FLAIR MR.
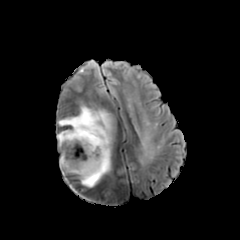
T1-weighted MR image.
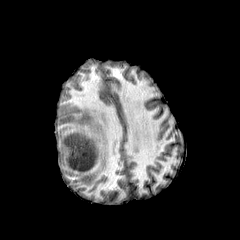
Post-contrast T1-weighted magnetic resonance.
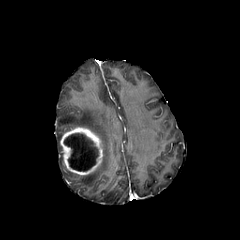
T2-weighted MR image.
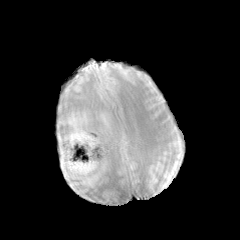
Head
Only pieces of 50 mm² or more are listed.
{
  "peritumoral_edema": [
    "box=[57, 130, 69, 147]",
    "box=[58, 106, 112, 187]",
    "box=[59, 156, 74, 175]"
  ],
  "necrotic_tumor_core": [
    "box=[64, 133, 98, 171]"
  ],
  "enhancing_tumor": [
    "box=[60, 127, 103, 175]"
  ]
}